FLAIR MRI.
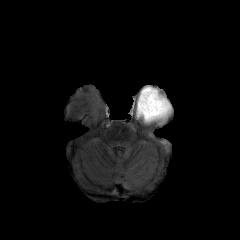
T1-weighted MR image.
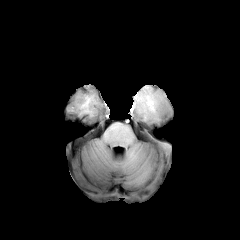
Post-contrast T1-weighted magnetic resonance.
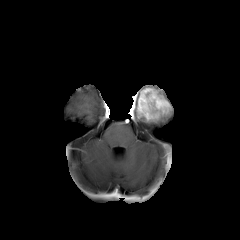
T2-weighted MR.
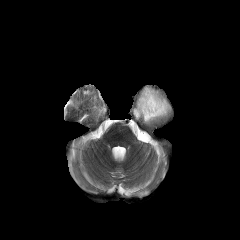
Brain, Axial view
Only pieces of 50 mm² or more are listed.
enhancing tumor at {"x1": 135, "y1": 87, "x2": 172, "y2": 121}
peritumoral edema at {"x1": 135, "y1": 111, "x2": 168, "y2": 123}